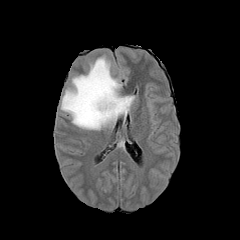
FLAIR MR image.
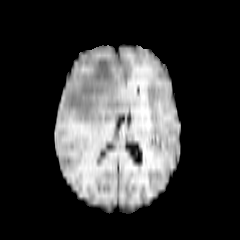
T1-weighted MR image.
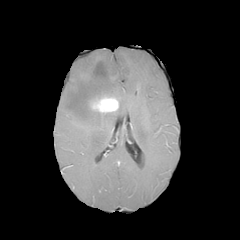
Post-contrast T1-weighted MR image of the same slice.
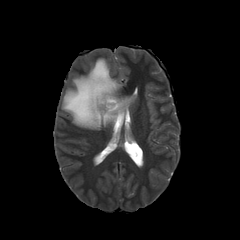
T2-weighted MR image.
Brain | Axial plane
<segmentation>
  <enhancing_tumor>bbox(89, 95, 119, 113)</enhancing_tumor>
  <peritumoral_edema>bbox(61, 57, 135, 135)</peritumoral_edema>
</segmentation>